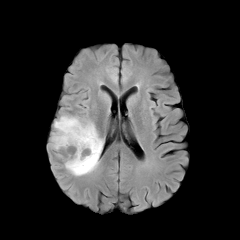
FLAIR MR image.
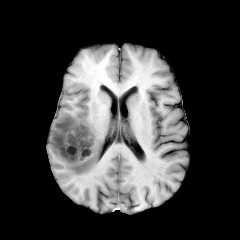
Same slice, T1-weighted magnetic resonance.
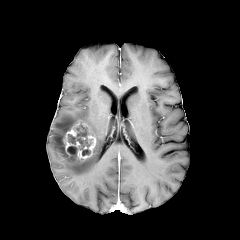
Same slice, post-contrast T1-weighted MR image.
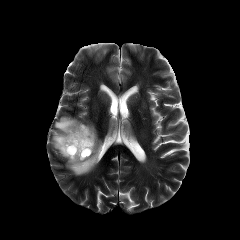
Same slice, T2-weighted magnetic resonance.
240x240; Brain; Axial view
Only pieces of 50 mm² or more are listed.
The 2 largest necrotic tumor core regions appear at x1=68, y1=124, x2=90, y2=149; x1=67, y1=146, x2=77, y2=154. The largest peritumoral edema region lies within x1=51, y1=115, x2=103, y2=175. The largest enhancing tumor region is located at x1=58, y1=121, x2=96, y2=163.